Head | Slice index 109
FLAIR MR.
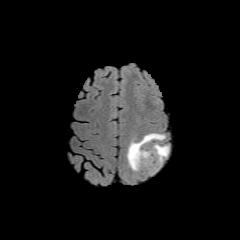
T1-weighted magnetic resonance.
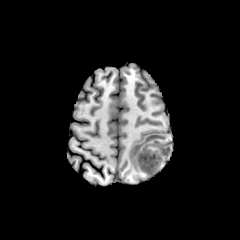
Post-contrast T1-weighted magnetic resonance.
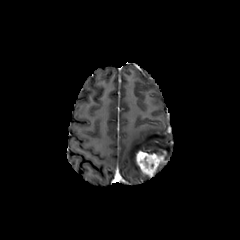
T2-weighted MRI.
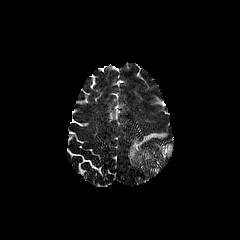
peritumoral edema: [127, 133, 165, 170], [154, 144, 169, 157] | enhancing tumor: [133, 146, 166, 176]